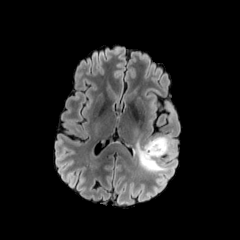
FLAIR MR image.
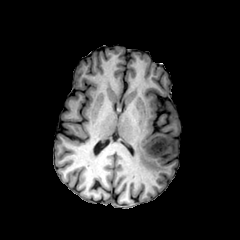
T1-weighted magnetic resonance.
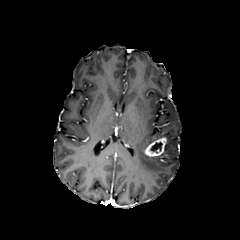
Post-contrast T1-weighted MR image.
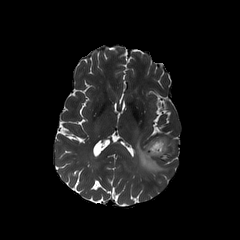
T2-weighted magnetic resonance.
Axial plane
Findings:
• enhancing tumor: x1=144 y1=137 x2=166 y2=156
• necrotic tumor core: x1=150 y1=142 x2=162 y2=153
• peritumoral edema: x1=135 y1=136 x2=172 y2=172